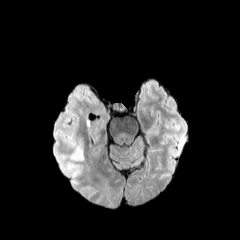
FLAIR MR image.
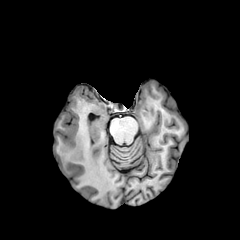
Same slice, T1-weighted MRI.
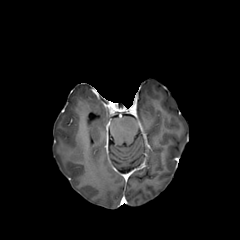
Post-contrast T1-weighted magnetic resonance.
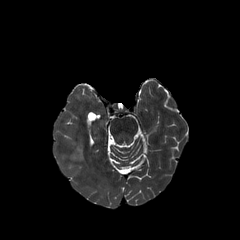
Same slice, T2-weighted magnetic resonance.
peritumoral edema: box=[71, 133, 83, 160]